Image covers 240 mm x 240 mm.
FLAIR MR image.
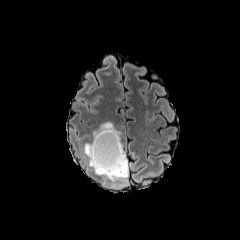
T1-weighted MR.
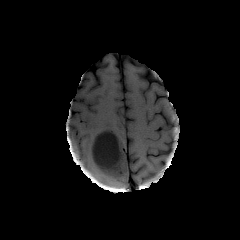
Post-contrast T1-weighted MR.
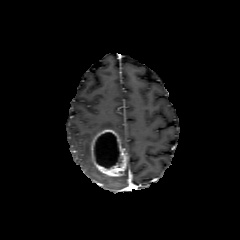
T2-weighted MR image.
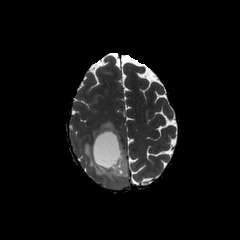
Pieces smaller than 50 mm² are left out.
necrotic tumor core: bounding box {"x1": 94, "y1": 132, "x2": 120, "y2": 168}
enhancing tumor: bounding box {"x1": 91, "y1": 129, "x2": 127, "y2": 177}
peritumoral edema: bounding box {"x1": 84, "y1": 142, "x2": 127, "y2": 180}, {"x1": 92, "y1": 121, "x2": 121, "y2": 138}